Brain. Axial plane.
FLAIR MR image.
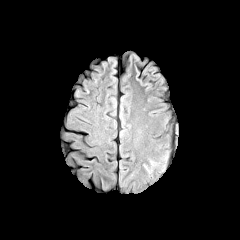
T1-weighted magnetic resonance.
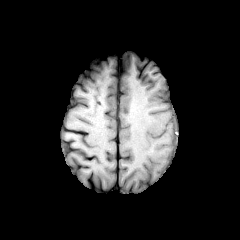
Post-contrast T1-weighted MR.
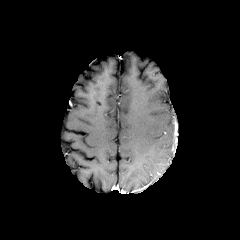
T2-weighted MR.
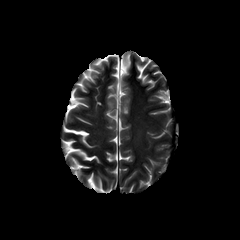
peritumoral edema — l=142, t=150, r=170, b=174